FLAIR MR image.
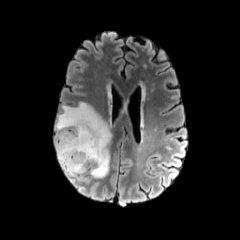
T1-weighted MR image.
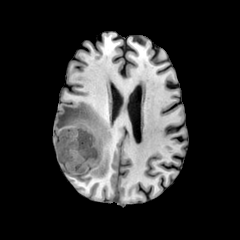
Post-contrast T1-weighted magnetic resonance.
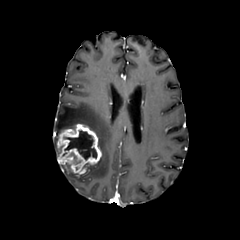
T2-weighted MR.
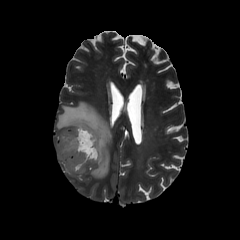
Brain. 240x240.
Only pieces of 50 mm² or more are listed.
peritumoral edema: bounding box x1=54, y1=101, x2=111, y2=178; x1=61, y1=165, x2=82, y2=177
necrotic tumor core: bounding box x1=64, y1=130, x2=96, y2=159
enhancing tumor: bounding box x1=57, y1=123, x2=101, y2=174